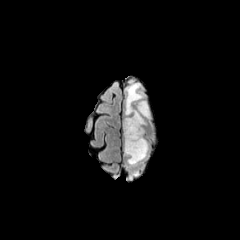
FLAIR MR image.
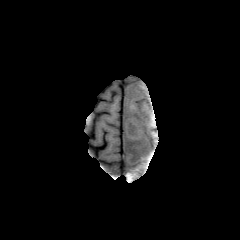
T1-weighted magnetic resonance of the same slice.
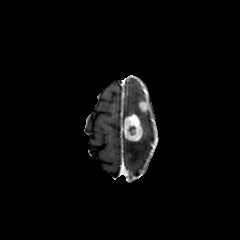
Post-contrast T1-weighted MR image.
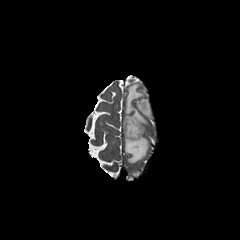
T2-weighted MR image.
Axial slice
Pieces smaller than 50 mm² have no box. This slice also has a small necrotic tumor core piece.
peritumoral edema at 125:82:150:125, 125:135:148:165
enhancing tumor at 123:114:142:141, 139:100:149:112